Brain. Axial plane.
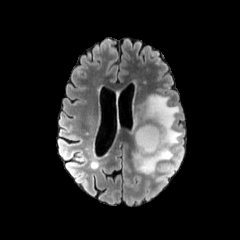
FLAIR MRI.
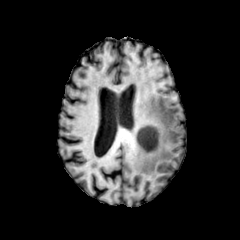
Same slice, T1-weighted MR image.
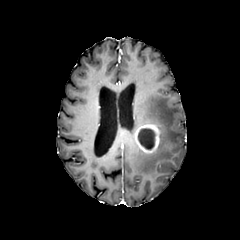
Post-contrast T1-weighted MR image of the same slice.
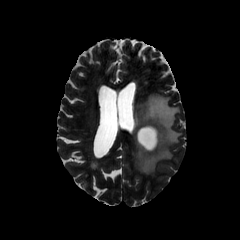
T2-weighted MR of the same slice.
{
  "peritumoral_edema": [
    "bbox(134, 95, 182, 173)"
  ],
  "enhancing_tumor": [
    "bbox(134, 123, 160, 154)"
  ],
  "necrotic_tumor_core": [
    "bbox(138, 129, 155, 149)"
  ]
}